Brain, Image width 240 mm, Slice 107/155
FLAIR magnetic resonance.
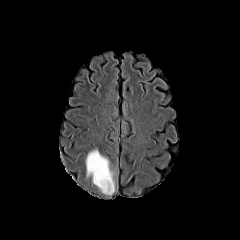
T1-weighted MR.
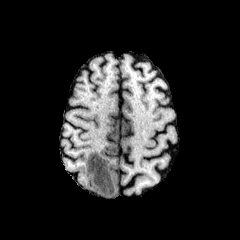
Post-contrast T1-weighted magnetic resonance.
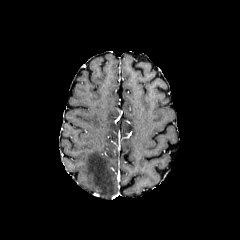
T2-weighted MRI.
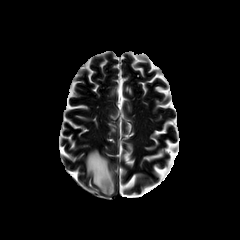
peritumoral edema at bbox(85, 147, 115, 195)